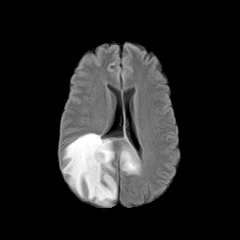
FLAIR MR.
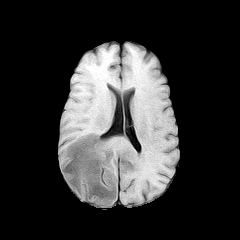
T1-weighted MR image.
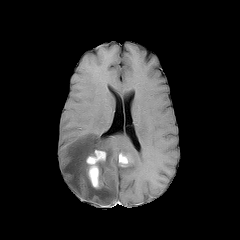
Post-contrast T1-weighted magnetic resonance of the same slice.
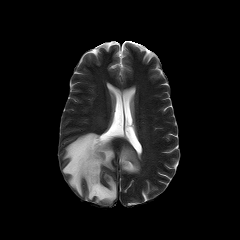
T2-weighted MR.
Brain, Axial plane
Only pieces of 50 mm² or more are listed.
Segmented structures:
- enhancing tumor: {"x1": 86, "y1": 150, "x2": 105, "y2": 188}, {"x1": 119, "y1": 153, "x2": 130, "y2": 166}
- peritumoral edema: {"x1": 62, "y1": 133, "x2": 116, "y2": 204}, {"x1": 120, "y1": 146, "x2": 140, "y2": 173}